Slice 71/155. Axial slice. Image width 240 mm, 1.00 mm slice spacing. 240x240 px. Head.
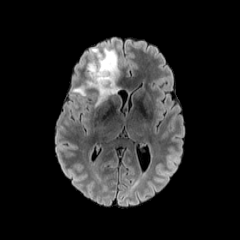
FLAIR magnetic resonance.
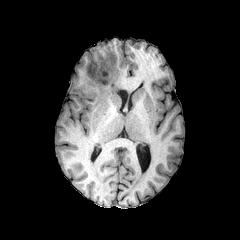
T1-weighted magnetic resonance of the same slice.
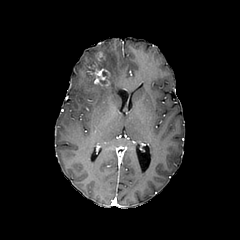
Post-contrast T1-weighted MRI of the same slice.
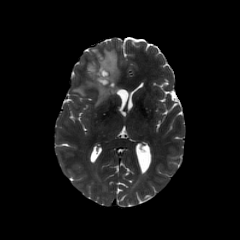
T2-weighted MRI.
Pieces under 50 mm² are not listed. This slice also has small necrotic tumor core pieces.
{
  "peritumoral_edema": [
    "73 48 119 106"
  ],
  "enhancing_tumor": [
    "90 67 109 85"
  ]
}